Brain
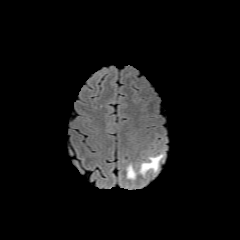
FLAIR MRI.
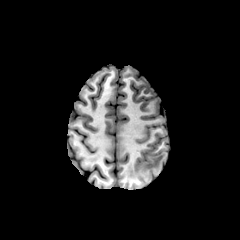
Same slice, T1-weighted MR image.
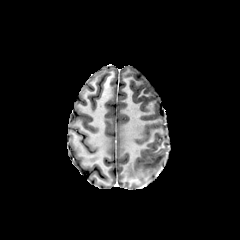
Post-contrast T1-weighted MRI of the same slice.
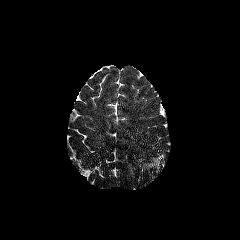
T2-weighted MR image.
2 peritumoral edema regions appear at (127, 164, 136, 178), (139, 154, 164, 175).